Head, Slice 133/155
FLAIR magnetic resonance.
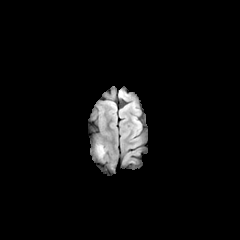
T1-weighted MR image.
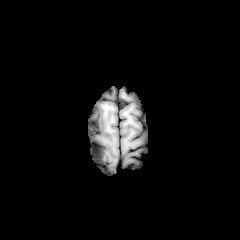
Post-contrast T1-weighted MR image.
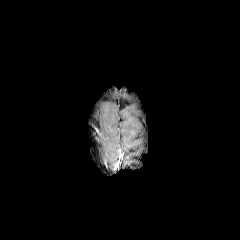
T2-weighted MR image.
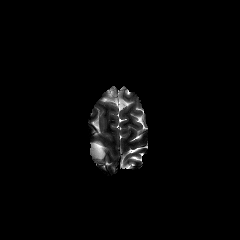
peritumoral edema: bounding box <bbox>94, 143, 105, 158</bbox>